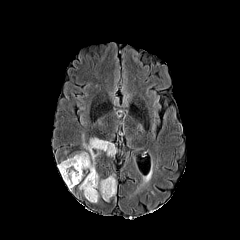
FLAIR magnetic resonance.
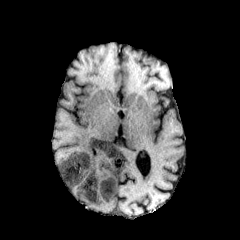
Same slice, T1-weighted MR.
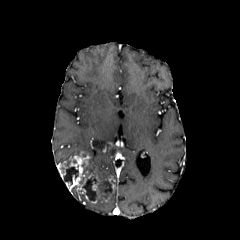
Post-contrast T1-weighted MR image.
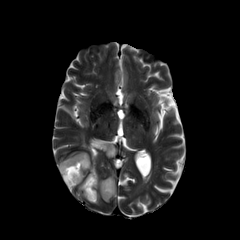
T2-weighted magnetic resonance.
Axial slice
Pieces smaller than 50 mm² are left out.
The 3 largest peritumoral edema regions are located at 100:178:107:188, 83:137:117:177, 102:178:117:201. The 3 largest necrotic tumor core regions appear at 64:167:78:184, 82:177:97:200, 98:181:112:193. The 2 largest enhancing tumor regions are located at 57:151:101:200, 108:177:115:192.